FLAIR MRI.
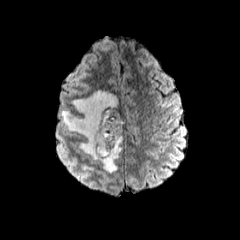
T1-weighted MR image.
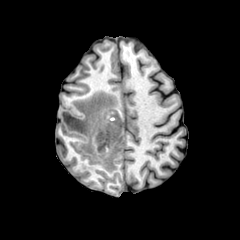
Post-contrast T1-weighted magnetic resonance.
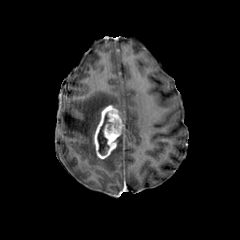
T2-weighted MRI.
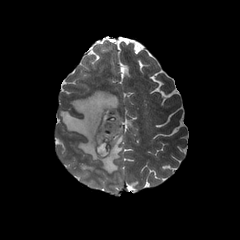
Image size 240x240
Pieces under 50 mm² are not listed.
peritumoral edema at 61:90:122:173
necrotic tumor core at 97:112:118:154
enhancing tumor at 93:105:123:159